FLAIR MR image.
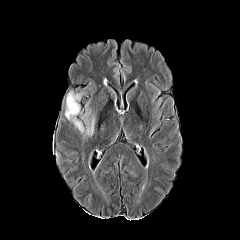
T1-weighted MR image.
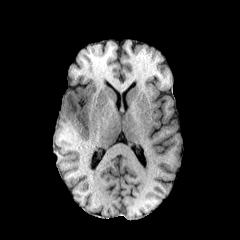
Post-contrast T1-weighted magnetic resonance.
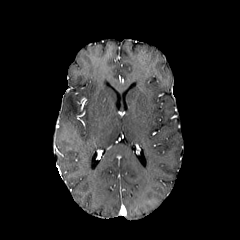
T2-weighted MRI.
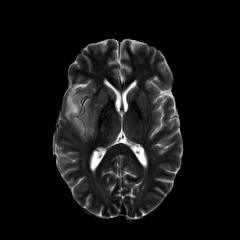
Axial slice
The peritumoral edema lies within box=[65, 88, 97, 138].